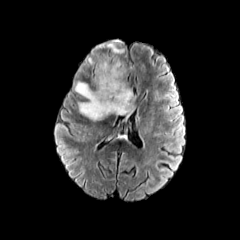
FLAIR MR image.
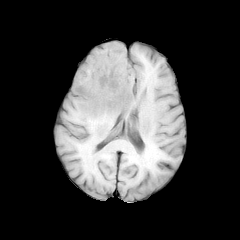
T1-weighted MR.
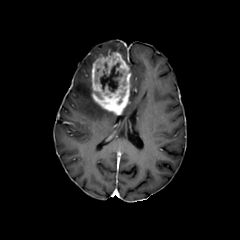
Post-contrast T1-weighted magnetic resonance.
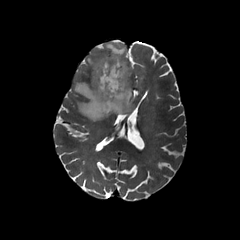
T2-weighted MR of the same slice.
240x240 px
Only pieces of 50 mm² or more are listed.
peritumoral edema = box(95, 39, 124, 55); box(87, 57, 95, 67); box(120, 88, 135, 115); box(74, 81, 113, 120)
necrotic tumor core = box(95, 63, 122, 93); box(114, 79, 126, 105); box(93, 91, 104, 99)
enhancing tumor = box(90, 51, 130, 114)